FLAIR MRI.
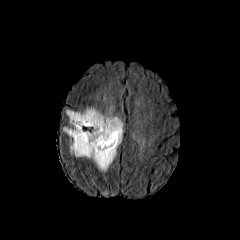
T1-weighted MR.
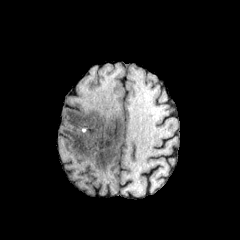
Post-contrast T1-weighted MR image.
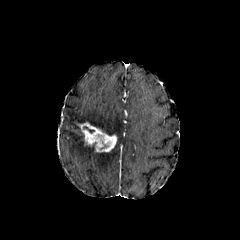
T2-weighted magnetic resonance.
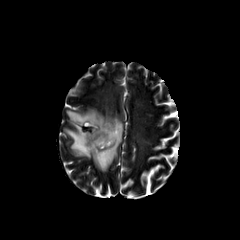
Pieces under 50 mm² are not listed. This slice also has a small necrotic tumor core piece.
Annotated regions:
* peritumoral edema: x1=130, y1=133, x2=145, y2=144; x1=62, y1=107, x2=123, y2=173
* enhancing tumor: x1=77, y1=122, x2=117, y2=152